FLAIR magnetic resonance.
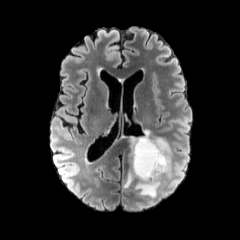
T1-weighted magnetic resonance.
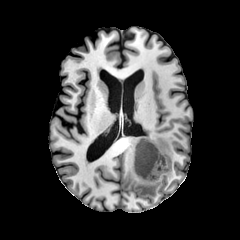
Post-contrast T1-weighted MR.
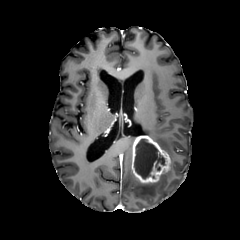
T2-weighted magnetic resonance.
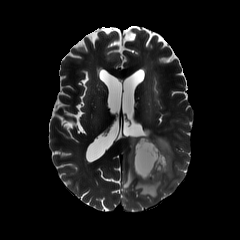
Brain. Axial plane.
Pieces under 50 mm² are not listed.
peritumoral edema at bbox=[134, 129, 171, 197]; bbox=[123, 137, 135, 188]
enhancing tumor at bbox=[131, 135, 170, 183]
necrotic tumor core at bbox=[134, 139, 164, 178]